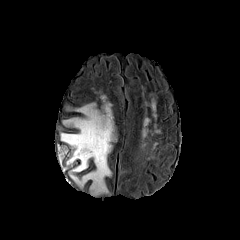
FLAIR MRI.
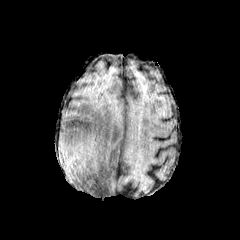
T1-weighted magnetic resonance.
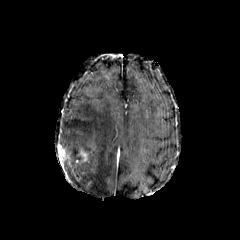
Post-contrast T1-weighted MRI of the same slice.
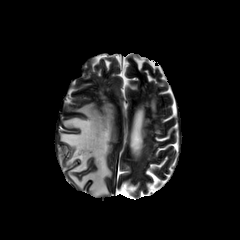
Same slice, T2-weighted MR image.
Axial slice. Brain.
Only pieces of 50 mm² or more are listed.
The largest peritumoral edema region is bounded by (x1=61, y1=103, x2=113, y2=194). 2 enhancing tumor regions are located at (x1=60, y1=147, x2=71, y2=166), (x1=79, y1=149, x2=88, y2=162).